Slice 48/155. Axial view. 240x240.
FLAIR MRI.
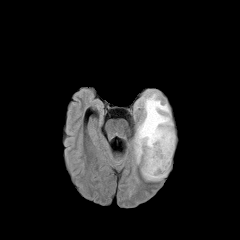
T1-weighted MRI.
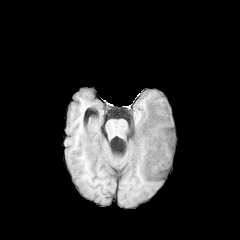
Post-contrast T1-weighted MR.
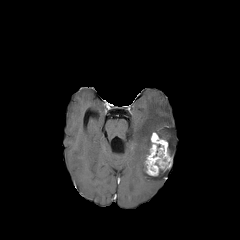
T2-weighted MR.
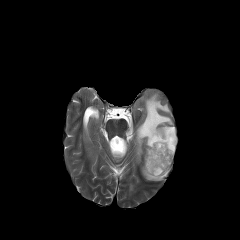
{"enhancing_tumor": ["region(144, 132, 172, 176)"], "peritumoral_edema": ["region(134, 93, 175, 162)", "region(142, 164, 169, 180)"]}